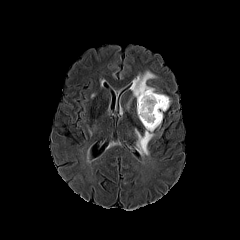
FLAIR magnetic resonance.
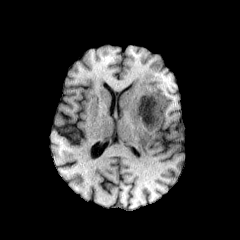
T1-weighted MR of the same slice.
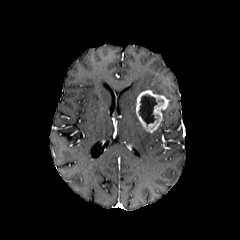
Same slice, post-contrast T1-weighted MRI.
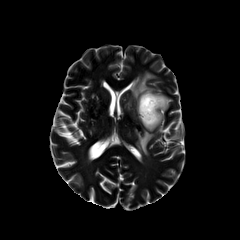
T2-weighted MRI.
Brain
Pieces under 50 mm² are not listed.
peritumoral edema: box(130, 71, 163, 98); box(135, 129, 154, 155) | necrotic tumor core: box(139, 95, 157, 124) | enhancing tumor: box(136, 90, 169, 132)